Axial slice
FLAIR MRI.
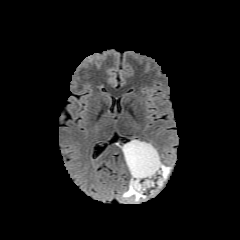
T1-weighted MR.
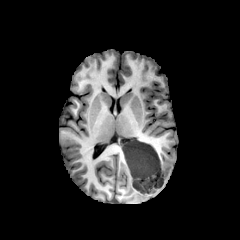
Post-contrast T1-weighted MR.
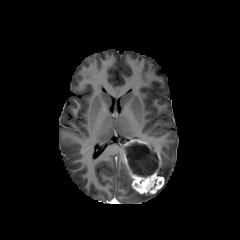
T2-weighted magnetic resonance.
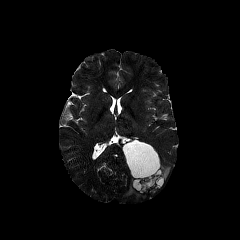
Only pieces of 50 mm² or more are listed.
• necrotic tumor core: (124,142,158,176)
• enhancing tumor: (123,139,164,193)
• peritumoral edema: (157,164,170,180), (122,178,146,201)